FLAIR MR image.
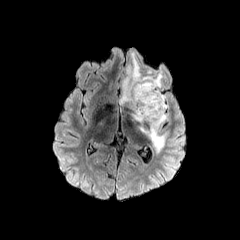
T1-weighted MR image.
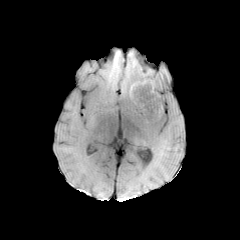
Post-contrast T1-weighted MRI.
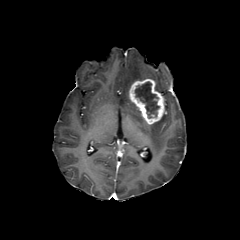
T2-weighted MR.
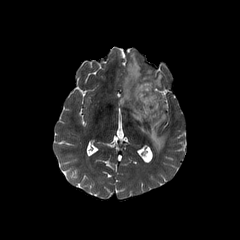
Axial slice; 240x240 px
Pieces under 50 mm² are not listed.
necrotic_tumor_core:
  - l=135, t=81, r=159, b=118
enhancing_tumor:
  - l=128, t=79, r=165, b=124
peritumoral_edema:
  - l=119, t=52, r=167, b=154